FLAIR magnetic resonance.
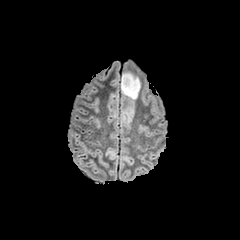
T1-weighted MR.
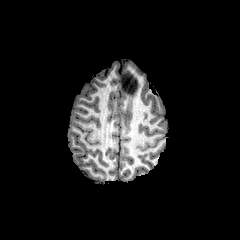
Post-contrast T1-weighted MRI.
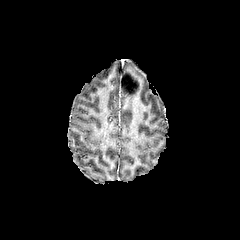
T2-weighted MRI.
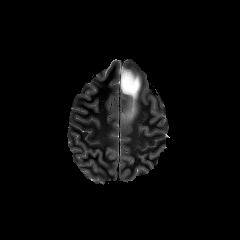
Head
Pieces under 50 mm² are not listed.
peritumoral edema: l=121, t=70, r=140, b=120